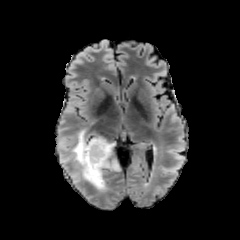
FLAIR MR.
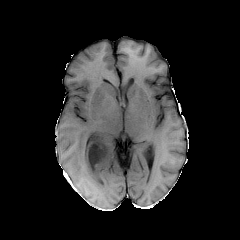
T1-weighted MRI.
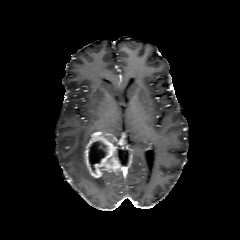
Post-contrast T1-weighted MRI.
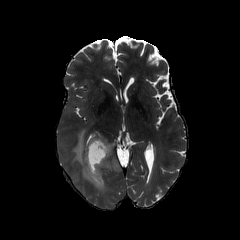
T2-weighted MRI of the same slice.
Brain. 240x240.
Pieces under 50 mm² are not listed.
The largest peritumoral edema region is at 72:129:105:190. The necrotic tumor core lies within 89:141:106:172. The enhancing tumor is located at 84:131:121:178.